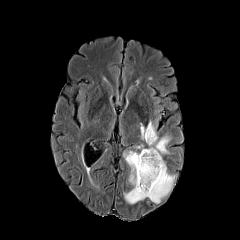
FLAIR MR.
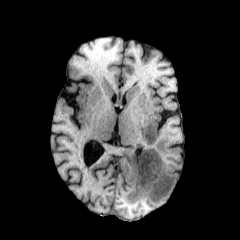
T1-weighted MR.
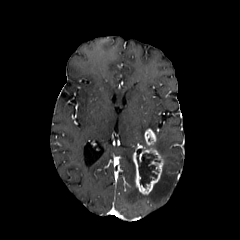
Post-contrast T1-weighted MR image of the same slice.
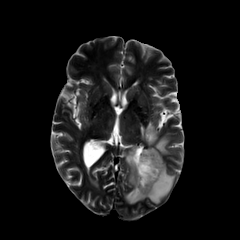
T2-weighted magnetic resonance of the same slice.
Axial slice.
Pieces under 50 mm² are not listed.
Segmented structures:
- peritumoral edema: 140:121:170:155, 124:151:175:204
- necrotic tumor core: 137:153:160:187
- enhancing tumor: 132:146:163:194, 144:128:156:145